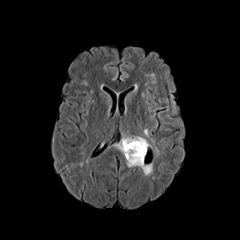
FLAIR magnetic resonance.
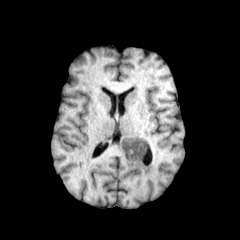
T1-weighted MRI.
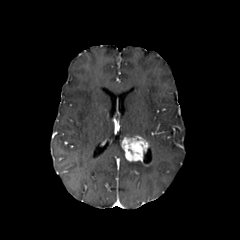
Post-contrast T1-weighted magnetic resonance of the same slice.
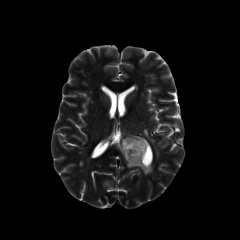
Same slice, T2-weighted MR image.
Head, Axial plane
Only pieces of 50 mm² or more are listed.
The 2 largest peritumoral edema regions are located at x1=113, y1=142, x2=124, y2=155; x1=126, y1=160, x2=153, y2=175. The enhancing tumor lies within x1=121, y1=136, x2=148, y2=162.